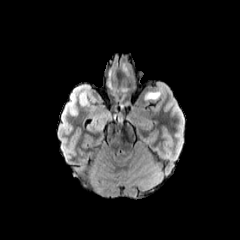
FLAIR MRI.
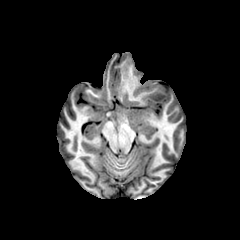
T1-weighted MRI.
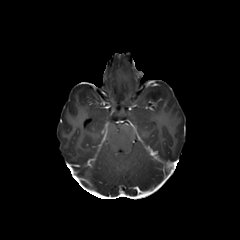
Post-contrast T1-weighted MR image.
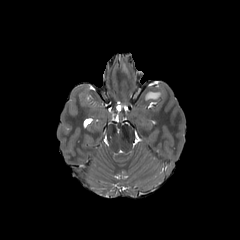
T2-weighted MR image of the same slice.
Axial view | Head
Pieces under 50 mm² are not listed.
<segmentation>
  <peritumoral_edema>(x1=145, y1=90, x2=162, y2=99)</peritumoral_edema>
</segmentation>